Axial view. Image width 240 mm, 1.00 mm slice spacing.
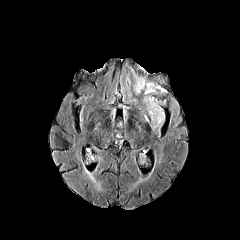
FLAIR magnetic resonance.
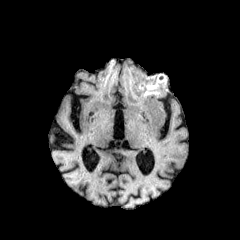
T1-weighted MRI.
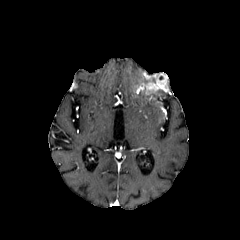
Post-contrast T1-weighted MR of the same slice.
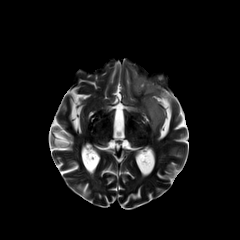
T2-weighted MRI of the same slice.
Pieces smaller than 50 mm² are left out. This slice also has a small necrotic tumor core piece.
peritumoral edema: (x1=144, y1=96, x2=164, y2=130), (x1=144, y1=88, x2=165, y2=94), (x1=133, y1=72, x2=155, y2=91) | enhancing tumor: (x1=135, y1=74, x2=166, y2=93)